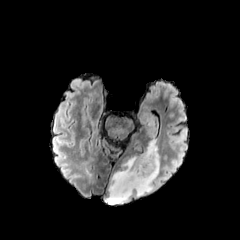
FLAIR MR image.
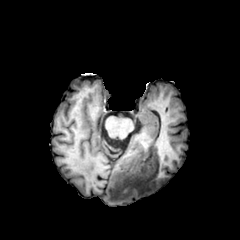
T1-weighted magnetic resonance.
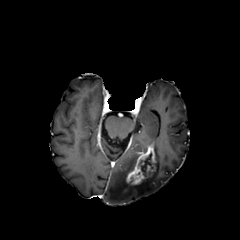
Post-contrast T1-weighted MRI.
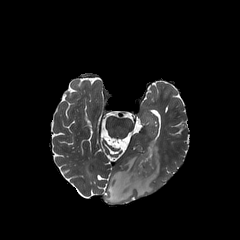
Same slice, T2-weighted MRI.
Axial view | 240x240 px | Head
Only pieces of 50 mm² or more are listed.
enhancing_tumor:
  - 126,146,156,185
necrotic_tumor_core:
  - 139,152,152,176
peritumoral_edema:
  - 105,141,160,204